FLAIR MR image.
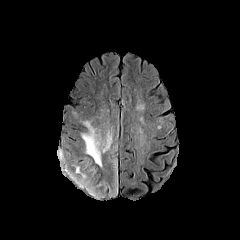
T1-weighted MR image.
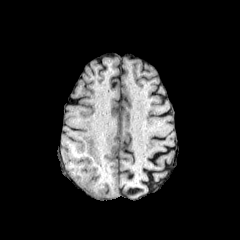
Post-contrast T1-weighted magnetic resonance.
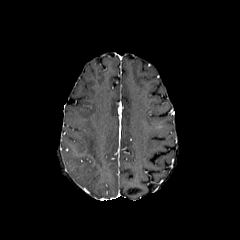
T2-weighted MR.
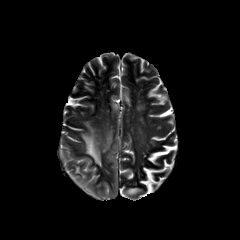
Axial view, 240x240 px, Head
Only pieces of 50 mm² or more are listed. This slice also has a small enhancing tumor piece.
peritumoral edema at x1=77, y1=177, x2=85, y2=186; x1=111, y1=156, x2=116, y2=166; x1=82, y1=121, x2=112, y2=166; x1=88, y1=179, x2=96, y2=194; x1=98, y1=169, x2=117, y2=198